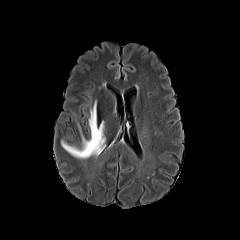
FLAIR MR image.
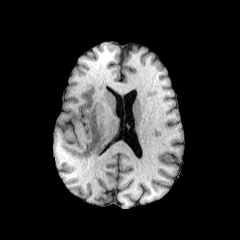
T1-weighted MR image.
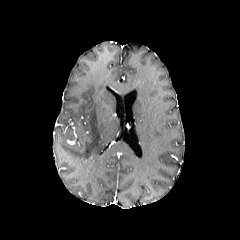
Post-contrast T1-weighted MR image.
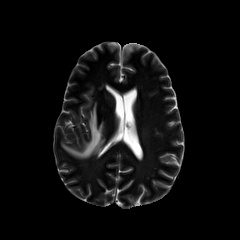
Same slice, T2-weighted MR.
Axial slice. Brain. Image size 240x240.
peritumoral_edema:
  - l=61, t=101, r=105, b=158